240x240 | Slice index 106 | Brain
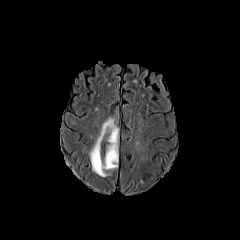
FLAIR MR image.
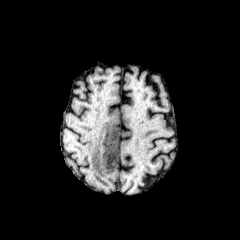
T1-weighted MR image of the same slice.
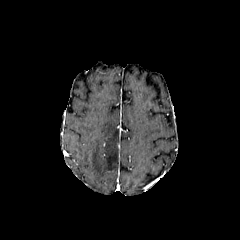
Post-contrast T1-weighted MRI.
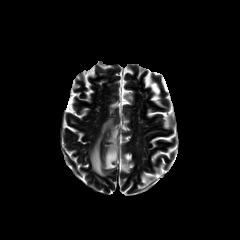
T2-weighted MR image of the same slice.
<segmentation>
  <peritumoral_edema>x1=89, y1=117, x2=118, y2=176</peritumoral_edema>
</segmentation>